Axial slice | Slice 59 of 155 | Head | Image covers 240 mm x 240 mm
FLAIR MR.
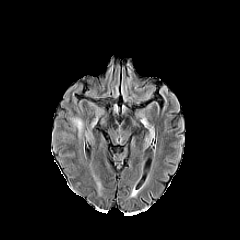
T1-weighted MR.
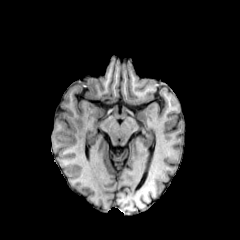
Post-contrast T1-weighted MR.
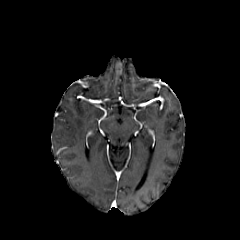
T2-weighted MR.
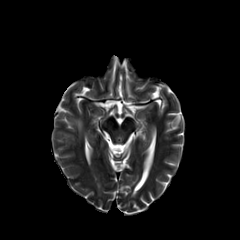
Segmented structures:
• peritumoral edema: rect(72, 119, 82, 136)